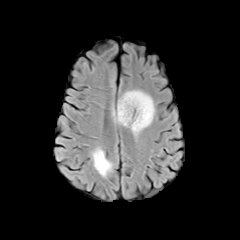
FLAIR MRI.
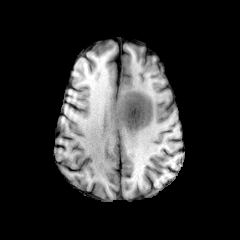
Same slice, T1-weighted MRI.
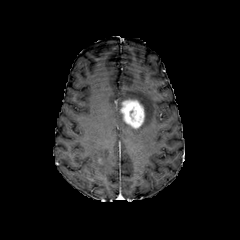
Post-contrast T1-weighted magnetic resonance of the same slice.
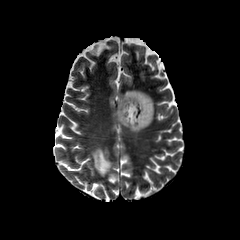
T2-weighted MRI.
Brain. Image size 240x240.
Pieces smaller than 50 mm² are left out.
The largest enhancing tumor region is located at 120 99 144 128. 2 peritumoral edema regions are bounded by 91 148 112 176, 113 90 154 134.